Axial view. Image covers 240 mm x 240 mm. 240x240. Slice index 80.
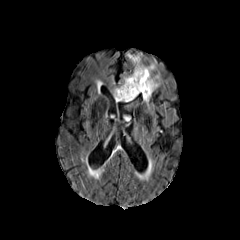
FLAIR MRI.
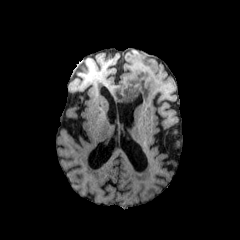
T1-weighted magnetic resonance of the same slice.
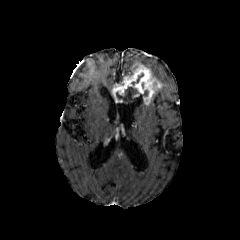
Post-contrast T1-weighted MRI.
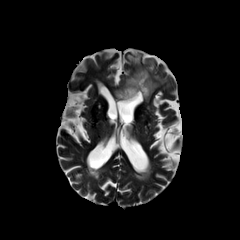
T2-weighted magnetic resonance of the same slice.
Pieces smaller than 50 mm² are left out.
peritumoral edema at (x1=127, y1=53, x2=141, y2=69)
enhancing tumor at (x1=112, y1=63, x2=161, y2=104)
necrotic tumor core at (x1=116, y1=87, x2=137, y2=102)